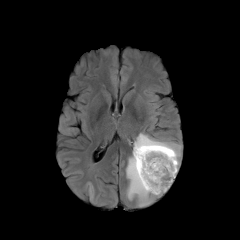
FLAIR magnetic resonance.
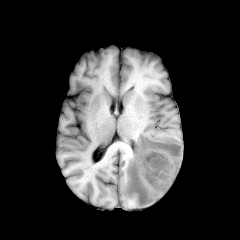
T1-weighted magnetic resonance.
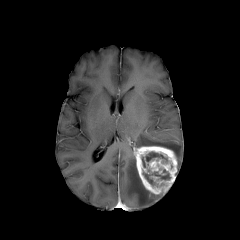
Post-contrast T1-weighted MR.
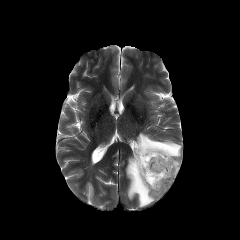
T2-weighted magnetic resonance of the same slice.
Image size 240x240.
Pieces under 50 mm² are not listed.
Annotated regions:
• necrotic tumor core: 146:152:166:161, 152:172:170:179, 143:173:154:184
• enhancing tumor: 133:146:177:194
• peritumoral edema: 126:152:163:206, 134:133:181:169